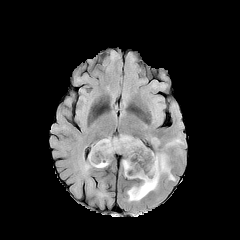
FLAIR MR.
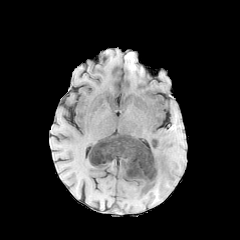
T1-weighted magnetic resonance.
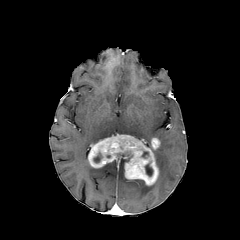
Same slice, post-contrast T1-weighted magnetic resonance.
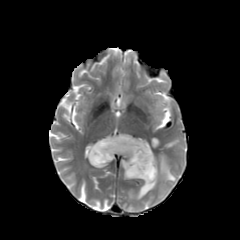
Same slice, T2-weighted magnetic resonance.
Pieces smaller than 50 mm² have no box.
{
  "necrotic_tumor_core": [
    "bbox=[94, 153, 101, 162]",
    "bbox=[145, 164, 153, 176]"
  ],
  "peritumoral_edema": [
    "bbox=[127, 153, 175, 200]"
  ],
  "enhancing_tumor": [
    "bbox=[88, 134, 159, 185]"
  ]
}